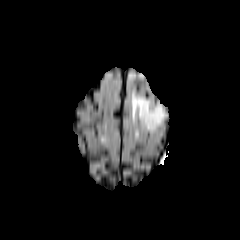
FLAIR MR.
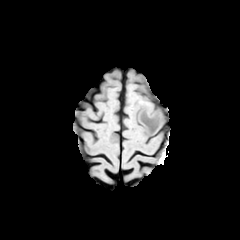
T1-weighted MR.
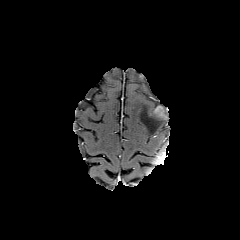
Post-contrast T1-weighted MRI.
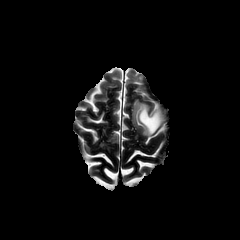
T2-weighted MR.
Image size 240x240.
The peritumoral edema appears at left=132, top=95, right=163, bottom=136. The enhancing tumor lies within left=154, top=105, right=167, bottom=119.